Brain.
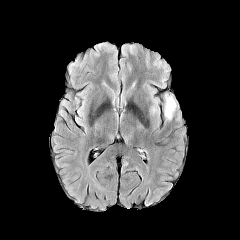
FLAIR magnetic resonance.
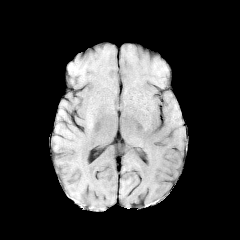
T1-weighted MR.
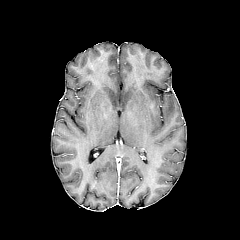
Post-contrast T1-weighted MRI.
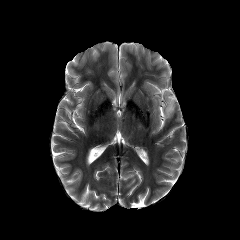
T2-weighted magnetic resonance of the same slice.
Annotated regions:
* peritumoral edema: rect(151, 99, 159, 113); rect(164, 93, 176, 119)